Slice 58/155, 240x240, Head
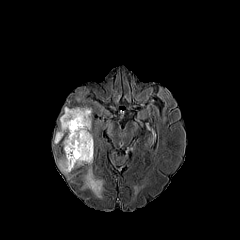
FLAIR magnetic resonance.
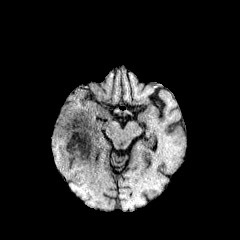
T1-weighted MR image.
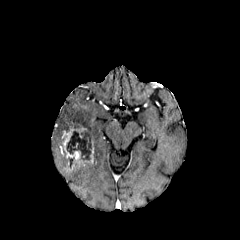
Post-contrast T1-weighted magnetic resonance.
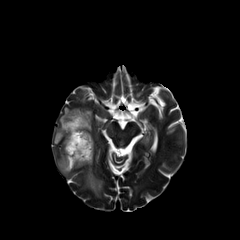
T2-weighted MR of the same slice.
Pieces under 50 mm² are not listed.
enhancing tumor — <bbox>62, 126, 93, 170</bbox>
peritumoral edema — <bbox>58, 147, 71, 174</bbox>, <bbox>54, 107, 93, 143</bbox>, <bbox>83, 163, 103, 197</bbox>
necrotic tumor core — <bbox>66, 130, 91, 160</bbox>